Brain | Slice 83/155
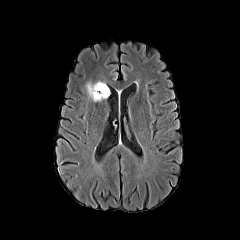
FLAIR MRI.
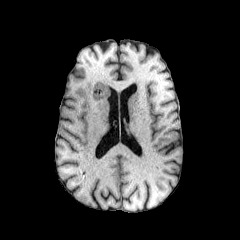
T1-weighted MR of the same slice.
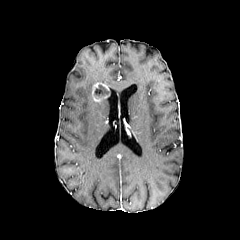
Post-contrast T1-weighted MRI of the same slice.
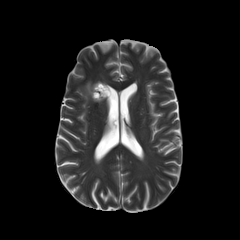
T2-weighted MRI of the same slice.
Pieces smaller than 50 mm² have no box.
enhancing tumor: (91, 82, 109, 101)
peritumoral edema: (85, 82, 93, 99)
necrotic tumor core: (94, 85, 108, 96)